FLAIR MR.
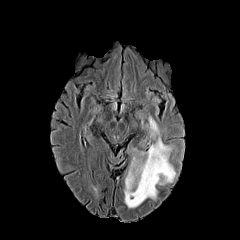
T1-weighted MRI.
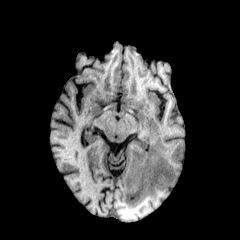
Post-contrast T1-weighted MRI.
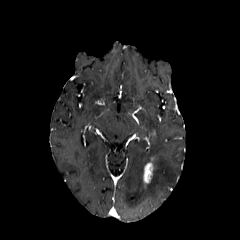
T2-weighted MRI.
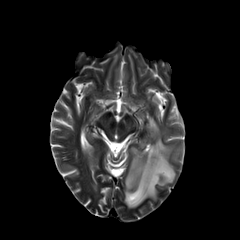
Head
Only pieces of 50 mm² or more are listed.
peritumoral_edema:
  - rect(124, 116, 176, 208)
enhancing_tumor:
  - rect(143, 157, 154, 186)